Slice index 41. Image size 240x240. Axial slice. Image width 240 mm, 1.00 mm slice spacing.
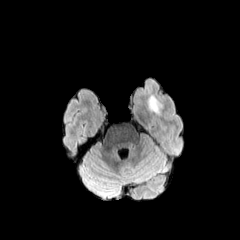
FLAIR MR image.
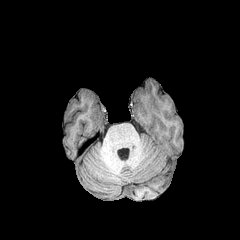
T1-weighted MRI of the same slice.
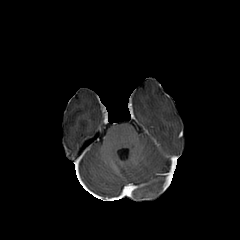
Post-contrast T1-weighted magnetic resonance of the same slice.
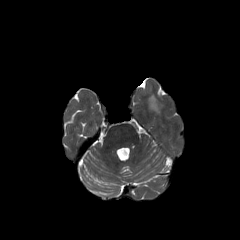
T2-weighted MR.
The peritumoral edema lies within 149 96 160 113.